FLAIR MR.
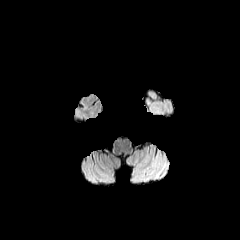
T1-weighted MRI.
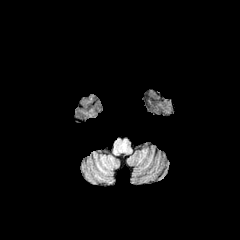
Post-contrast T1-weighted MRI.
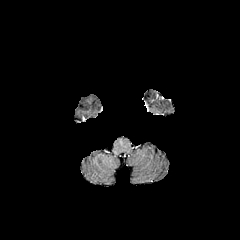
T2-weighted MR.
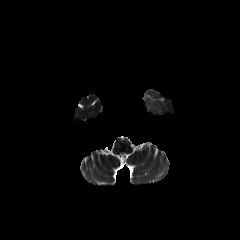
Head
The peritumoral edema appears at x1=148, y1=104, x2=158, y2=114.